FLAIR magnetic resonance.
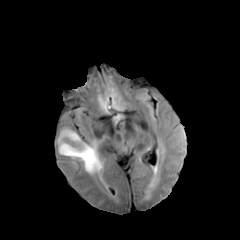
T1-weighted magnetic resonance.
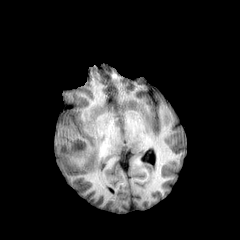
Post-contrast T1-weighted magnetic resonance.
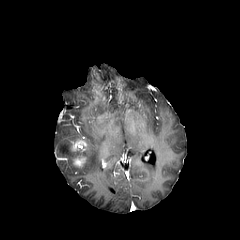
T2-weighted MR.
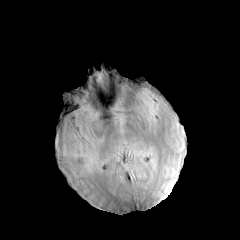
Axial slice, Brain
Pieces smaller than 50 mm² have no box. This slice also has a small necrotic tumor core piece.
peritumoral edema — [82, 140, 102, 173], [58, 129, 80, 159]
enhancing tumor — [73, 155, 86, 166], [70, 138, 87, 152]